Slice 73 of 155; Brain
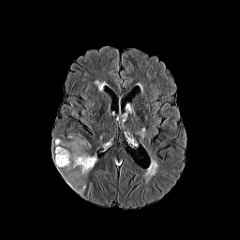
FLAIR MR image.
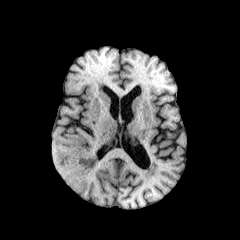
Same slice, T1-weighted MRI.
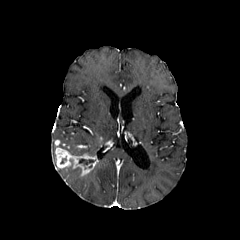
Post-contrast T1-weighted MRI of the same slice.
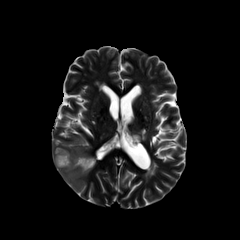
Same slice, T2-weighted MR.
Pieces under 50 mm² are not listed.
<segmentation>
  <peritumoral_edema><bbox>150, 161, 156, 174</bbox>, <bbox>55, 164, 86, 193</bbox>, <bbox>58, 135, 86, 154</bbox></peritumoral_edema>
  <necrotic_tumor_core><bbox>79, 159, 94, 165</bbox></necrotic_tumor_core>
  <enhancing_tumor><bbox>54, 140, 97, 176</bbox></enhancing_tumor>
</segmentation>